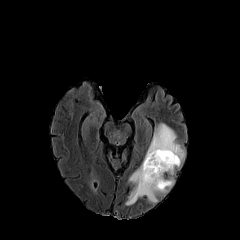
FLAIR MR image.
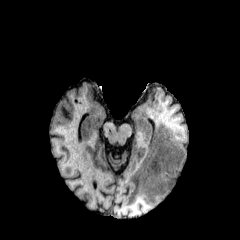
Same slice, T1-weighted MR.
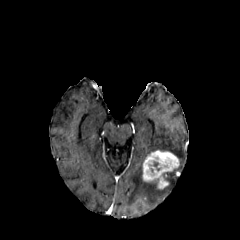
Same slice, post-contrast T1-weighted MR.
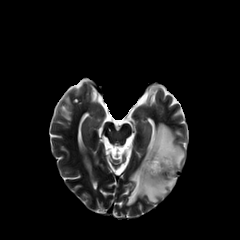
T2-weighted MRI of the same slice.
Axial slice.
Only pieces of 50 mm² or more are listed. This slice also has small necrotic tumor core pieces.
The enhancing tumor is at region(142, 150, 179, 189). 2 peritumoral edema regions are located at region(145, 123, 185, 169); region(125, 163, 175, 205).